Head
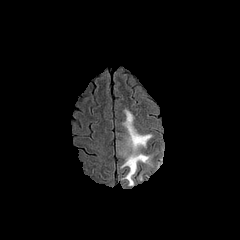
FLAIR MR.
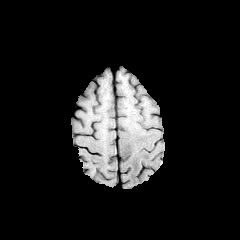
T1-weighted MR image of the same slice.
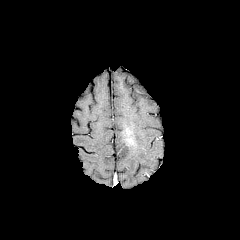
Post-contrast T1-weighted MR image of the same slice.
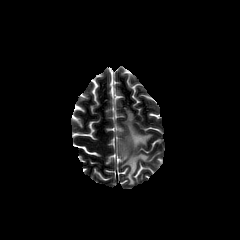
T2-weighted magnetic resonance of the same slice.
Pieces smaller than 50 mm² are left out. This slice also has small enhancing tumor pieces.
The largest peritumoral edema region is at (x1=119, y1=109, x2=152, y2=186).